FLAIR MR.
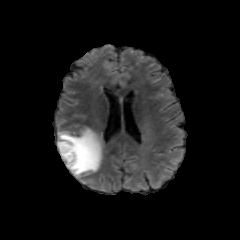
T1-weighted MR image.
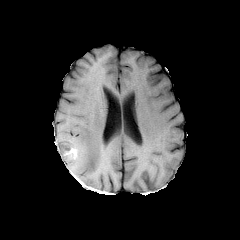
Post-contrast T1-weighted magnetic resonance.
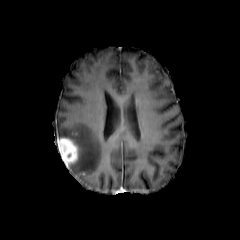
T2-weighted magnetic resonance.
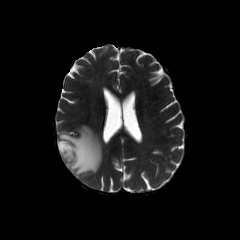
Brain.
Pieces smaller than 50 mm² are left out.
enhancing_tumor:
  - (x1=58, y1=137, x2=79, y2=168)
peritumoral_edema:
  - (x1=57, y1=126, x2=102, y2=177)